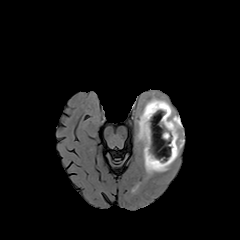
FLAIR magnetic resonance.
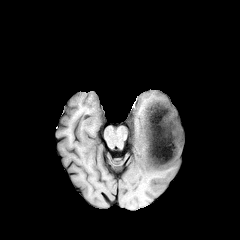
Same slice, T1-weighted MR image.
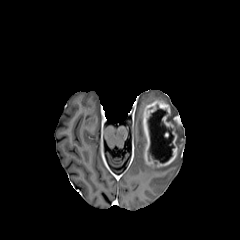
Post-contrast T1-weighted MRI of the same slice.
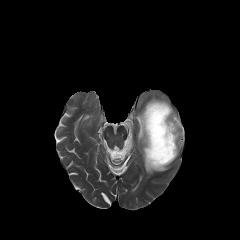
Same slice, T2-weighted magnetic resonance.
240x240.
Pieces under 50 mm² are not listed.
- peritumoral edema: x1=177, y1=127, x2=184, y2=155; x1=144, y1=97, x2=168, y2=108; x1=137, y1=109, x2=170, y2=174
- enhancing tumor: x1=142, y1=100, x2=182, y2=167
- necrotic tumor core: x1=148, y1=105, x2=174, y2=163